240x240 px, Slice 127 of 155, Axial view
FLAIR MR.
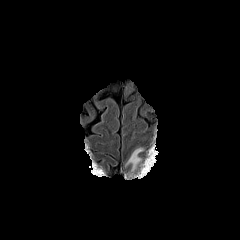
T1-weighted MRI.
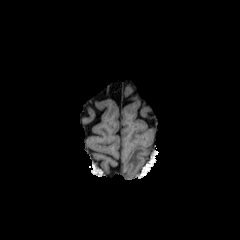
Post-contrast T1-weighted MR image.
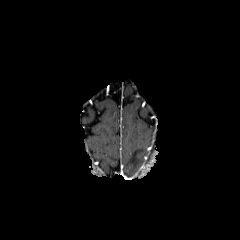
T2-weighted MR.
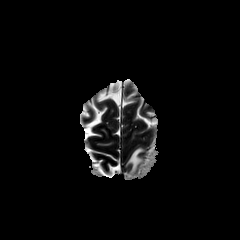
peritumoral_edema:
  - (left=124, top=147, right=144, bottom=171)